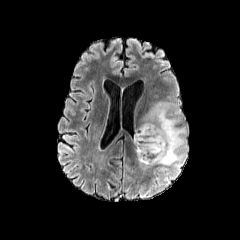
FLAIR magnetic resonance.
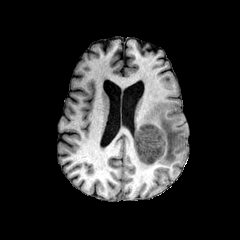
T1-weighted MRI of the same slice.
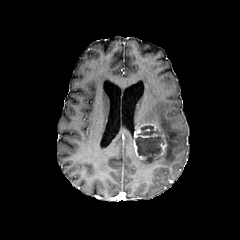
Post-contrast T1-weighted MR.
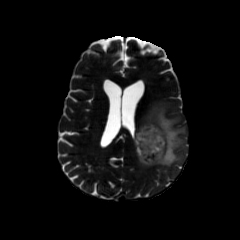
Same slice, T2-weighted MR image.
Axial view
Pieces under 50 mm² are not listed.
* enhancing tumor: {"x1": 133, "y1": 122, "x2": 166, "y2": 162}
* peritumoral edema: {"x1": 137, "y1": 102, "x2": 187, "y2": 169}
* necrotic tumor core: {"x1": 137, "y1": 125, "x2": 158, "y2": 135}, {"x1": 135, "y1": 136, "x2": 163, "y2": 161}